Slice 113 of 155
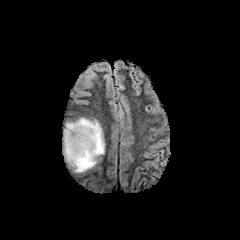
FLAIR magnetic resonance.
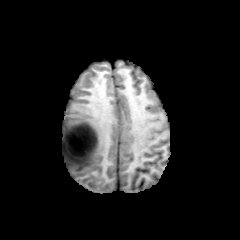
T1-weighted MR of the same slice.
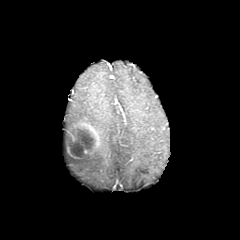
Same slice, post-contrast T1-weighted MR.
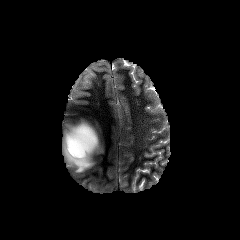
T2-weighted MR image.
enhancing_tumor:
  - {"x1": 64, "y1": 124, "x2": 98, "y2": 158}
necrotic_tumor_core:
  - {"x1": 68, "y1": 128, "x2": 95, "y2": 156}
peritumoral_edema:
  - {"x1": 62, "y1": 118, "x2": 104, "y2": 173}